Axial view; Head; Image covers 240 mm x 240 mm
FLAIR MR.
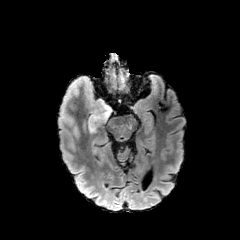
T1-weighted MR image.
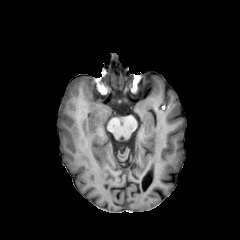
Post-contrast T1-weighted MR.
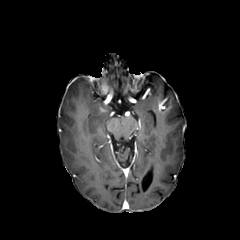
T2-weighted MR image.
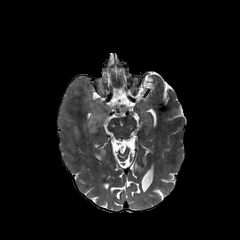
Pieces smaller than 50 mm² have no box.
Findings:
• peritumoral edema: 73 125 79 137, 59 76 112 134